FLAIR magnetic resonance.
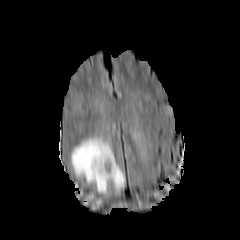
T1-weighted MRI.
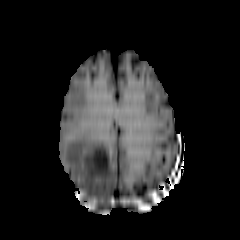
Post-contrast T1-weighted MR image.
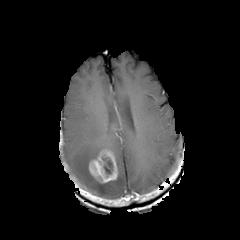
T2-weighted MR.
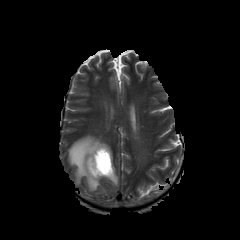
The enhancing tumor is at 89,148,118,183. The necrotic tumor core lies within 102,158,112,173. The peritumoral edema appears at 70,137,124,194.